FLAIR MRI.
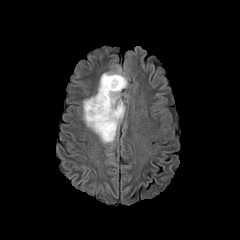
T1-weighted MRI.
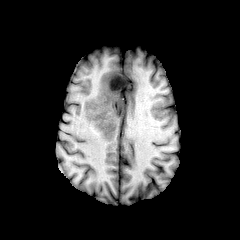
Post-contrast T1-weighted MR.
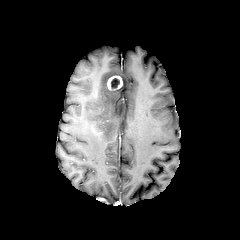
T2-weighted magnetic resonance.
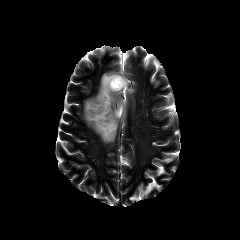
Axial plane | Head
{"peritumoral_edema": ["(x1=83, y1=66, x2=128, y2=143)"], "necrotic_tumor_core": ["(x1=111, y1=78, x2=119, y2=88)"], "enhancing_tumor": ["(x1=107, y1=75, x2=122, y2=90)"]}